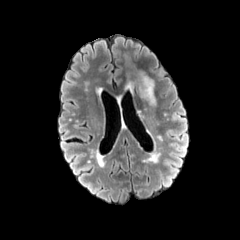
FLAIR MRI.
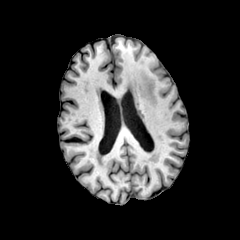
T1-weighted MR of the same slice.
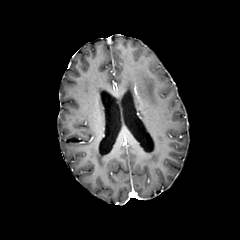
Post-contrast T1-weighted MR image of the same slice.
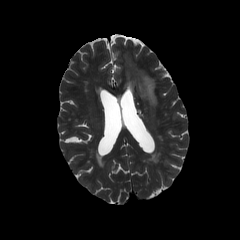
T2-weighted MR image of the same slice.
Axial view | 240x240
2 peritumoral edema regions are bounded by 127 81 133 91, 138 73 155 105.